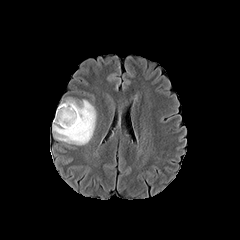
FLAIR MRI.
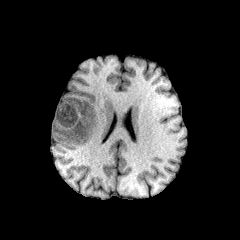
Same slice, T1-weighted MR.
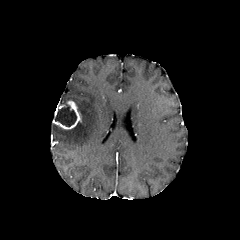
Post-contrast T1-weighted MRI.
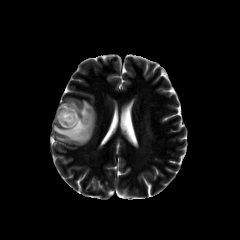
T2-weighted MR.
Axial slice. Head.
• enhancing tumor: [x1=53, y1=100, x2=81, y2=129]
• peritumoral edema: [x1=52, y1=98, x2=96, y2=145]
• necrotic tumor core: [x1=55, y1=103, x2=76, y2=126]